Head. 240x240. Axial plane.
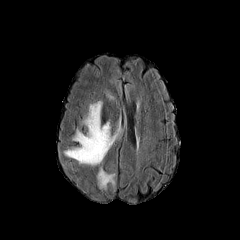
FLAIR MR image.
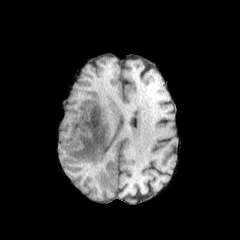
T1-weighted MRI of the same slice.
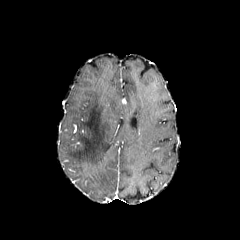
Post-contrast T1-weighted magnetic resonance of the same slice.
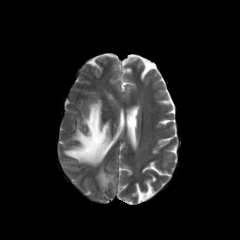
T2-weighted MR image.
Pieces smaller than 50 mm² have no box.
peritumoral_edema:
  - [63,101,121,165]
  - [96,167,115,189]